FLAIR MRI.
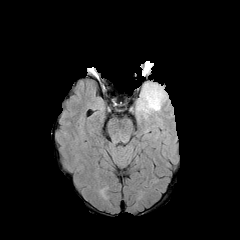
T1-weighted MR image.
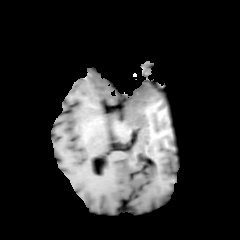
Post-contrast T1-weighted MR image.
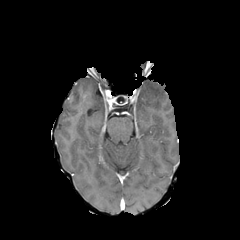
T2-weighted magnetic resonance.
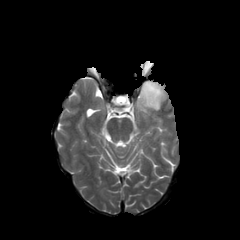
Axial slice. Brain.
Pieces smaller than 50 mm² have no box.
Segmented structures:
* peritumoral edema: l=135, t=81, r=167, b=120